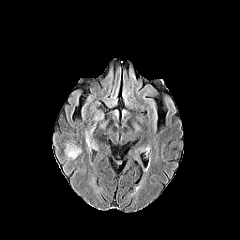
FLAIR MRI.
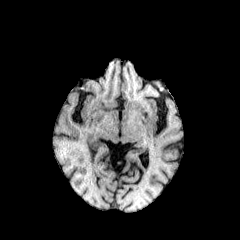
Same slice, T1-weighted magnetic resonance.
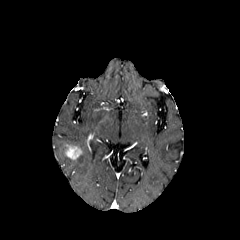
Post-contrast T1-weighted MRI.
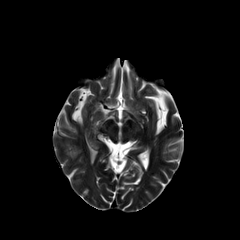
Same slice, T2-weighted MR.
240x240. Brain.
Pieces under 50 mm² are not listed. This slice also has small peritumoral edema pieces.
{"enhancing_tumor": ["(x1=65, y1=143, x2=81, y2=159)"]}